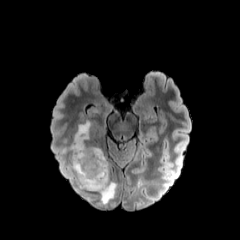
FLAIR MR.
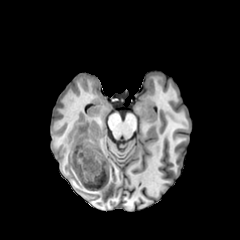
T1-weighted MR.
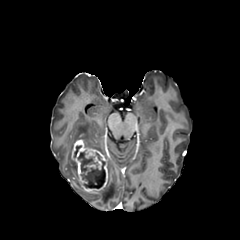
Post-contrast T1-weighted MR image of the same slice.
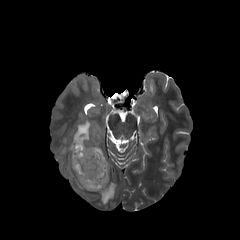
T2-weighted MRI.
Head
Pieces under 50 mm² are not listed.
necrotic tumor core: bounding box [77, 151, 105, 188]
peritumoral edema: bounding box [98, 160, 116, 203], [60, 121, 103, 179]
enhancing tumor: bounding box [72, 139, 107, 191]